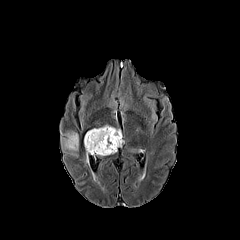
FLAIR MR image.
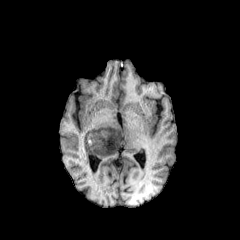
T1-weighted MR.
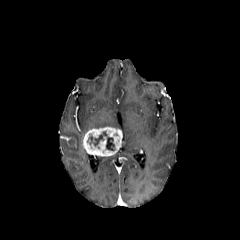
Same slice, post-contrast T1-weighted MR image.
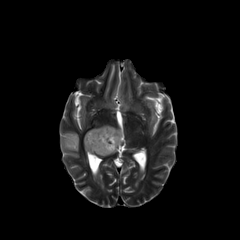
T2-weighted magnetic resonance of the same slice.
Brain
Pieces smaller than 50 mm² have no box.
{
  "peritumoral_edema": [
    "(61,131,78,156)"
  ],
  "enhancing_tumor": [
    "(83,127,122,156)"
  ],
  "necrotic_tumor_core": [
    "(87,131,114,150)"
  ]
}